Head, Slice 79 of 155
FLAIR MR.
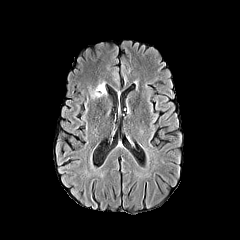
T1-weighted MRI.
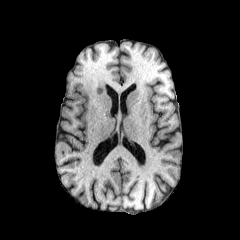
Post-contrast T1-weighted MR.
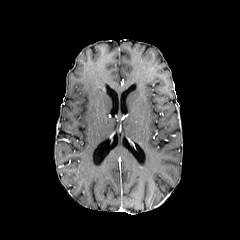
T2-weighted MRI.
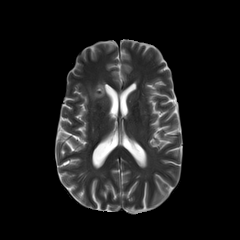
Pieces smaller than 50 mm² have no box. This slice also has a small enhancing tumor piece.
Findings:
- peritumoral edema: x1=91 y1=86 x2=106 y2=98